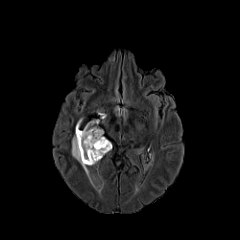
FLAIR MR image.
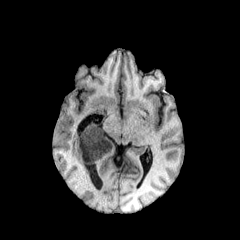
T1-weighted MRI of the same slice.
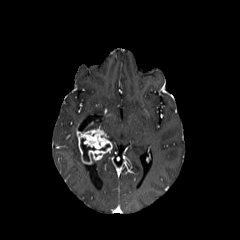
Post-contrast T1-weighted MR of the same slice.
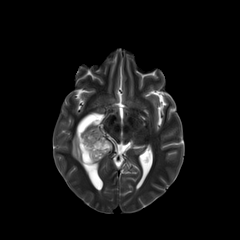
T2-weighted MR.
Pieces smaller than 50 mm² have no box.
Findings:
* peritumoral edema: <bbox>83, 121, 97, 131</bbox>, <bbox>71, 130, 86, 170</bbox>
* necrotic tumor core: <bbox>80, 138, 95, 161</bbox>
* enhancing tumor: <bbox>76, 128, 112, 164</bbox>